Slice 97/155
FLAIR magnetic resonance.
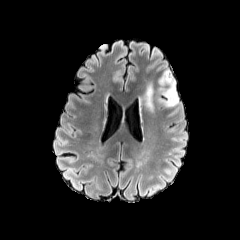
T1-weighted MRI.
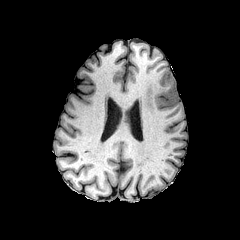
Post-contrast T1-weighted MRI.
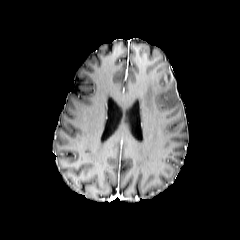
T2-weighted MR image.
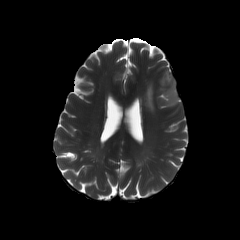
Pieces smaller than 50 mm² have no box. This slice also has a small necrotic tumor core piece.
- enhancing tumor: region(164, 71, 173, 83)
- peritumoral edema: region(143, 74, 179, 111)